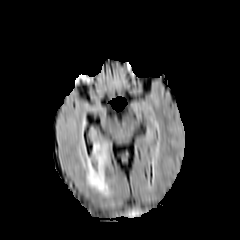
FLAIR MR image.
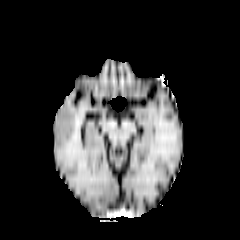
Same slice, T1-weighted MR image.
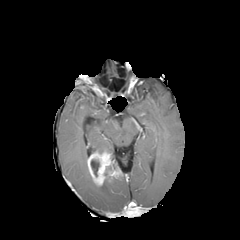
Post-contrast T1-weighted MR of the same slice.
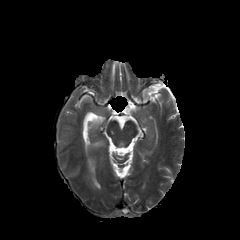
T2-weighted MRI.
Head. 240x240 px.
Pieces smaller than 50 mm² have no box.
Annotated regions:
- enhancing tumor: 87 150 120 185
- necrotic tumor core: 91 160 99 176
- peritumoral edema: 93 140 111 152, 79 151 109 195